FLAIR MR.
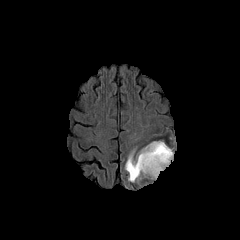
T1-weighted magnetic resonance.
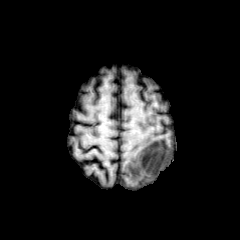
Post-contrast T1-weighted MR image.
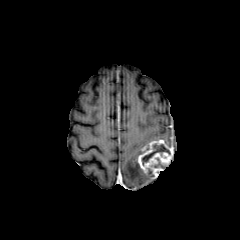
T2-weighted MR image.
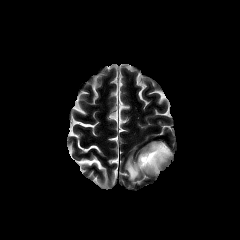
Head; Axial view
The necrotic tumor core is bounded by {"x1": 142, "y1": 144, "x2": 170, "y2": 165}. The enhancing tumor is bounded by {"x1": 138, "y1": 140, "x2": 173, "y2": 177}. The peritumoral edema is at {"x1": 125, "y1": 150, "x2": 153, "y2": 182}.